Axial plane, Slice 73 of 155, Brain
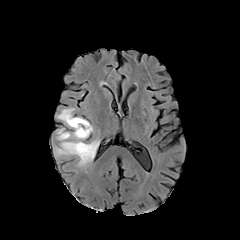
FLAIR magnetic resonance.
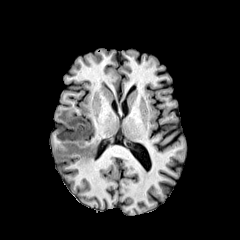
T1-weighted MRI.
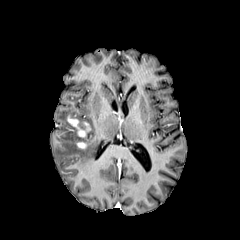
Post-contrast T1-weighted MRI.
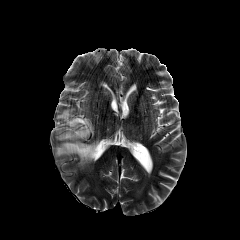
T2-weighted MR of the same slice.
enhancing_tumor:
  - 77:142:86:148
  - 67:116:90:137
peritumoral_edema:
  - 55:108:99:167